240x240 | Image width 240 mm
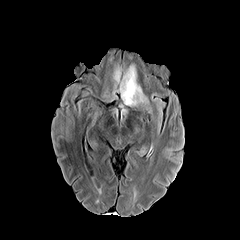
FLAIR MR image.
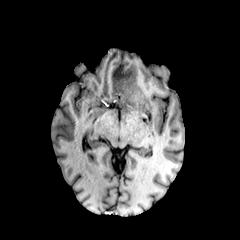
Same slice, T1-weighted MR.
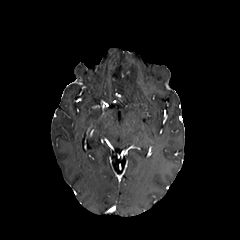
Post-contrast T1-weighted MR image of the same slice.
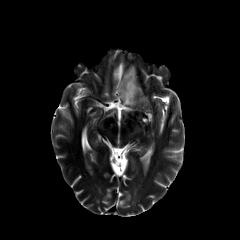
T2-weighted MR image.
peritumoral edema — 118 102 128 115, 113 62 149 106